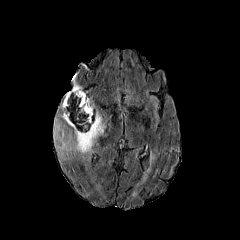
FLAIR MR.
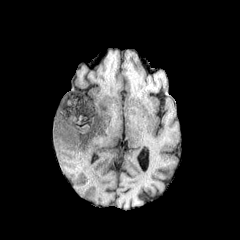
T1-weighted MR of the same slice.
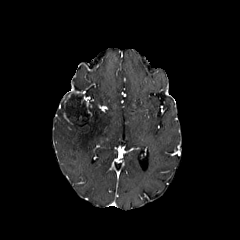
Same slice, post-contrast T1-weighted magnetic resonance.
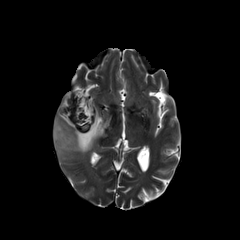
T2-weighted MR.
Brain. Axial plane. Image size 240x240.
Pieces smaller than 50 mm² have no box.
The largest necrotic tumor core region is bounded by box(62, 93, 90, 131). The largest peritumoral edema region is bounded by box(53, 111, 106, 159). The 2 largest enhancing tumor regions appear at box(64, 89, 83, 109); box(86, 101, 92, 115).